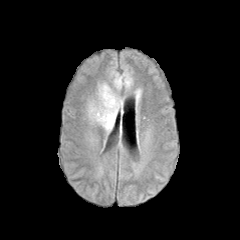
FLAIR MR image.
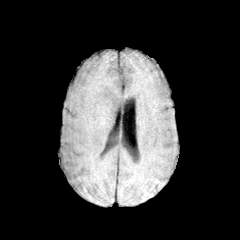
T1-weighted MR of the same slice.
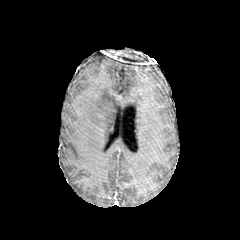
Post-contrast T1-weighted magnetic resonance of the same slice.
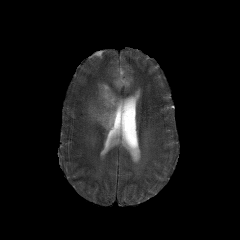
T2-weighted MRI.
Axial view; Head
peritumoral_edema:
  - {"x1": 87, "y1": 82, "x2": 123, "y2": 132}
  - {"x1": 112, "y1": 71, "x2": 132, "y2": 90}